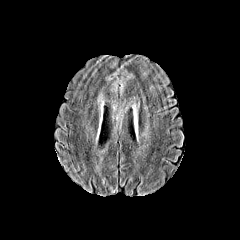
FLAIR MRI.
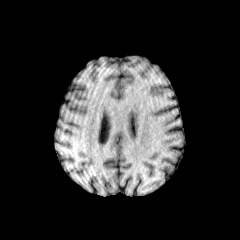
T1-weighted MR image.
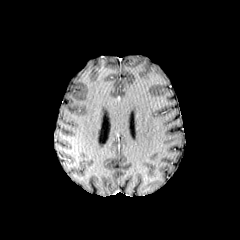
Post-contrast T1-weighted MR.
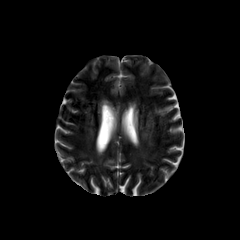
T2-weighted magnetic resonance.
240x240 px. Brain. Axial view.
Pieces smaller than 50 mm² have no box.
peritumoral edema: x1=110 y1=68 x2=136 y2=93